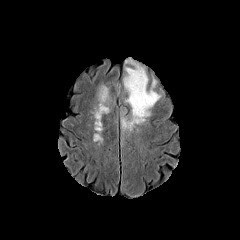
FLAIR MRI.
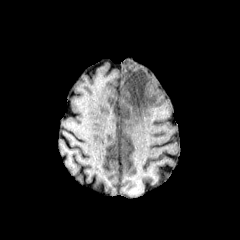
T1-weighted magnetic resonance.
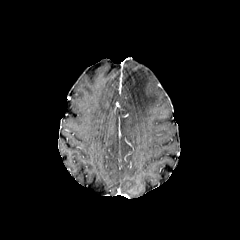
Post-contrast T1-weighted MRI.
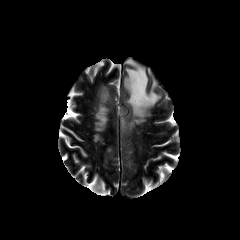
T2-weighted magnetic resonance.
Head | Image size 240x240 | Axial view
peritumoral edema: bounding box [99,83,107,100], [122,62,160,130]